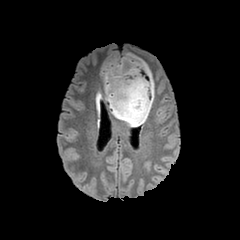
FLAIR MR image.
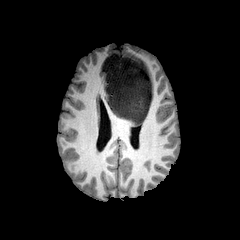
T1-weighted MR image.
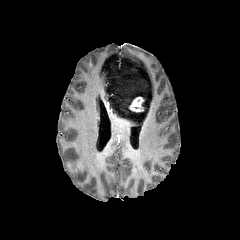
Post-contrast T1-weighted MR image.
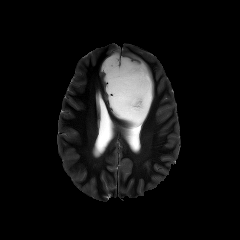
Same slice, T2-weighted MR image.
Brain
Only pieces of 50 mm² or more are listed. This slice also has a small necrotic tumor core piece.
Annotated regions:
- enhancing tumor: bbox=[129, 97, 144, 112]
- peritumoral edema: bbox=[101, 54, 154, 127]